Brain; Axial view
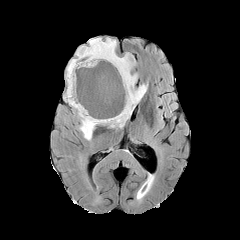
FLAIR magnetic resonance.
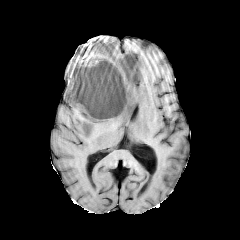
T1-weighted MR image.
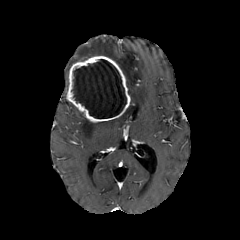
Post-contrast T1-weighted MR of the same slice.
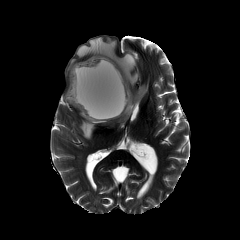
T2-weighted magnetic resonance.
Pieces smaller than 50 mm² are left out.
Annotated regions:
- enhancing tumor: (66, 56, 130, 122)
- peritumoral edema: (66, 37, 147, 140)
- necrotic tumor core: (72, 59, 126, 118)